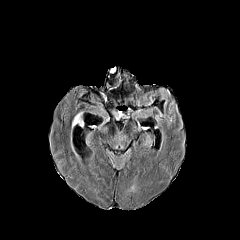
FLAIR magnetic resonance.
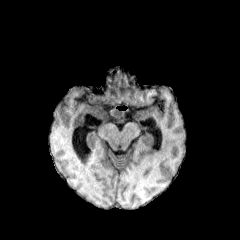
T1-weighted MR.
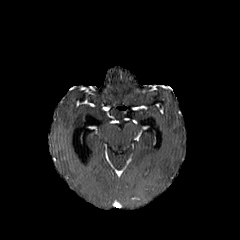
Same slice, post-contrast T1-weighted MR image.
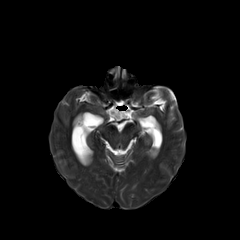
T2-weighted MRI.
Head. Axial plane. Image size 240x240.
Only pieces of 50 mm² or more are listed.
peritumoral edema at 72 112 83 126